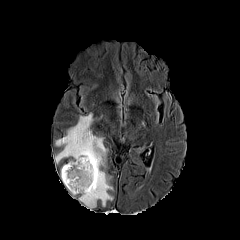
FLAIR MR image.
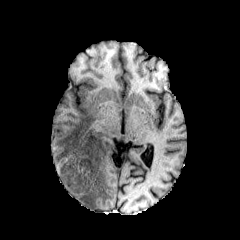
T1-weighted MR of the same slice.
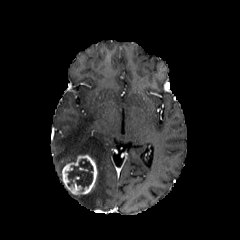
Post-contrast T1-weighted MR image.
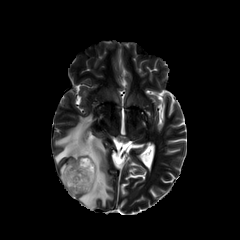
T2-weighted MRI of the same slice.
Image size 240x240
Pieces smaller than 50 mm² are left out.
enhancing tumor = x1=61 y1=154 x2=97 y2=194
peritumoral edema = x1=54 y1=113 x2=113 y2=209
necrotic tumor core = x1=68 y1=159 x2=93 y2=190